Head
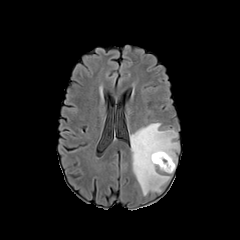
FLAIR MR image.
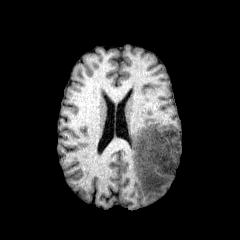
T1-weighted MR image.
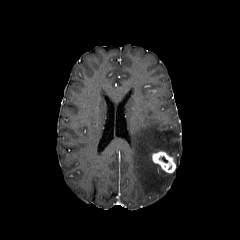
Post-contrast T1-weighted MR image.
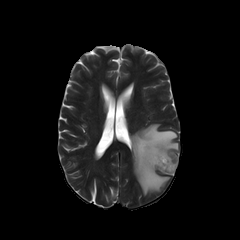
T2-weighted magnetic resonance.
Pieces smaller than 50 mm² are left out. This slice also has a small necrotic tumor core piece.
The largest peritumoral edema region is at 130 123 179 195. The enhancing tumor is at 152 151 175 173.